240x240, Axial plane, Slice 64 of 155
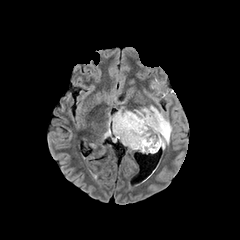
FLAIR MR image.
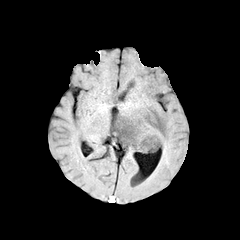
T1-weighted MRI.
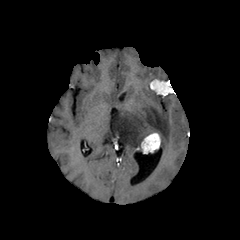
Post-contrast T1-weighted MRI of the same slice.
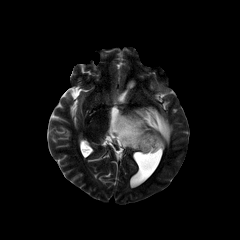
Same slice, T2-weighted MR.
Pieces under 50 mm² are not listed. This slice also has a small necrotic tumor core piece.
Annotated regions:
* enhancing tumor: <box>141,133,160,153</box>
* peritumoral edema: <box>104,106,172,149</box>